240x240 px. Slice index 68. Axial view.
FLAIR magnetic resonance.
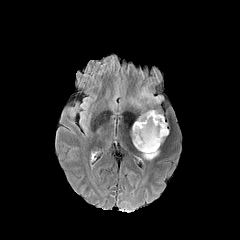
T1-weighted MRI.
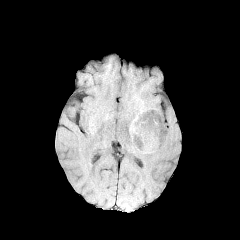
Post-contrast T1-weighted MR.
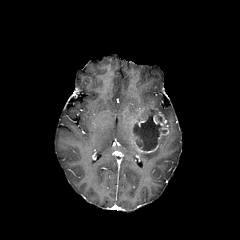
T2-weighted MR.
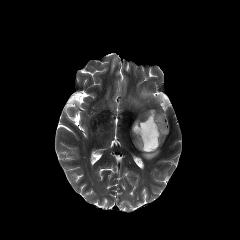
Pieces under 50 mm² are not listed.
necrotic tumor core at {"x1": 134, "y1": 115, "x2": 166, "y2": 150}
enhancing tumor at {"x1": 133, "y1": 113, "x2": 168, "y2": 152}
peritumoral edema at {"x1": 140, "y1": 88, "x2": 162, "y2": 102}, {"x1": 137, "y1": 109, "x2": 160, "y2": 120}, {"x1": 143, "y1": 149, "x2": 158, "y2": 159}